Axial view, 240x240 px, Brain
FLAIR magnetic resonance.
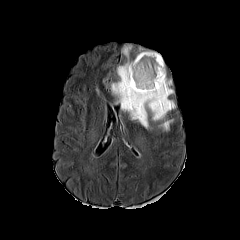
T1-weighted magnetic resonance.
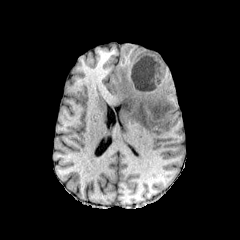
Post-contrast T1-weighted magnetic resonance.
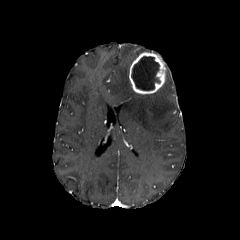
T2-weighted MRI.
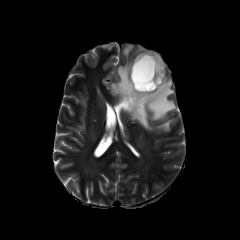
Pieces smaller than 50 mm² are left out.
enhancing tumor — box=[129, 52, 166, 94]
peritumoral edema — box=[111, 44, 175, 131]; box=[135, 48, 151, 58]
necrotic tumor core — box=[131, 56, 160, 90]